FLAIR MRI.
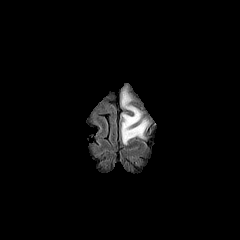
T1-weighted MRI.
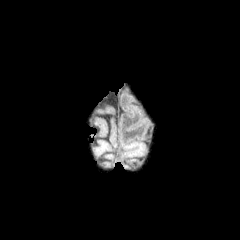
Post-contrast T1-weighted MR image.
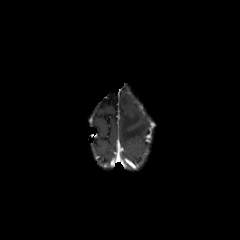
T2-weighted MRI.
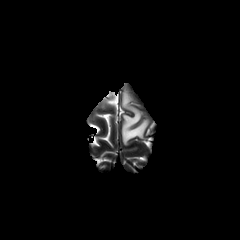
240x240 px, Brain
The peritumoral edema is located at region(120, 85, 148, 144).